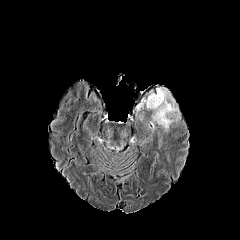
FLAIR magnetic resonance.
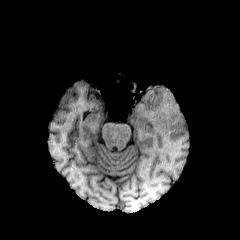
Same slice, T1-weighted MR image.
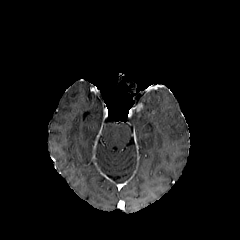
Post-contrast T1-weighted magnetic resonance.
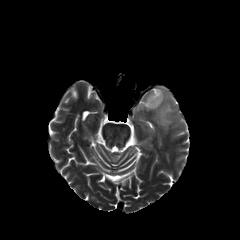
Same slice, T2-weighted MR image.
Axial view
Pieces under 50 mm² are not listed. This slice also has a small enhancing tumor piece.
peritumoral edema — 144:88:177:130